FLAIR magnetic resonance.
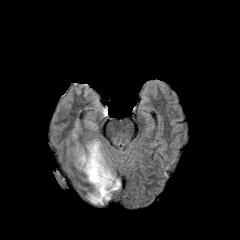
T1-weighted MR image.
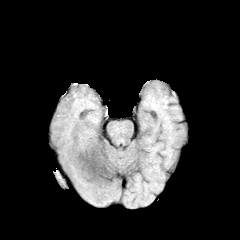
Post-contrast T1-weighted magnetic resonance.
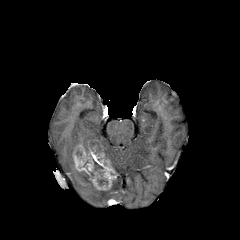
T2-weighted MRI.
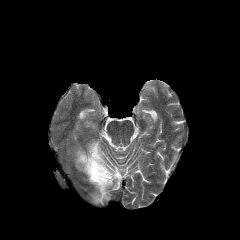
240x240 px, Brain
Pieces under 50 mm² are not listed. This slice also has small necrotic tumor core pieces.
enhancing tumor = [x1=73, y1=144, x2=116, y2=190]
peritumoral edema = [x1=72, y1=121, x2=79, y2=138], [x1=86, y1=139, x2=103, y2=151], [x1=88, y1=178, x2=120, y2=204]